240x240; Axial view; Slice 84/155
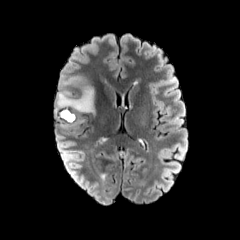
FLAIR magnetic resonance.
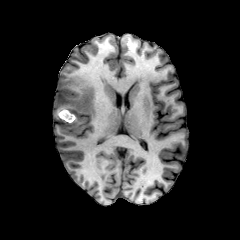
T1-weighted MR.
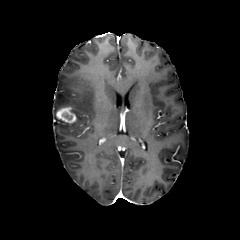
Same slice, post-contrast T1-weighted magnetic resonance.
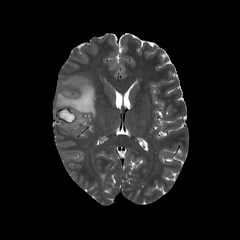
T2-weighted MRI of the same slice.
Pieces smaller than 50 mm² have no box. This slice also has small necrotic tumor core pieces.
2 peritumoral edema regions are located at l=60, t=118, r=84, b=127; l=54, t=75, r=95, b=118. The enhancing tumor appears at l=56, t=107, r=76, b=123.